240x240 px | Head | Axial slice
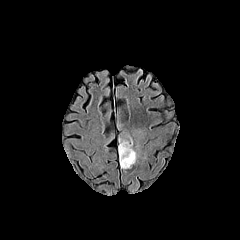
FLAIR MR.
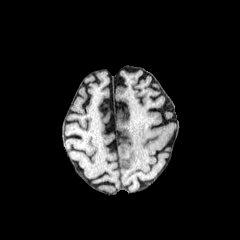
T1-weighted magnetic resonance.
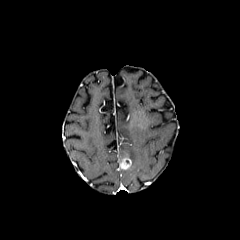
Same slice, post-contrast T1-weighted magnetic resonance.
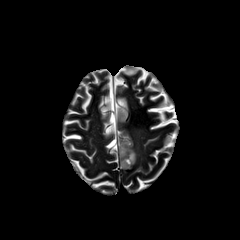
T2-weighted MR.
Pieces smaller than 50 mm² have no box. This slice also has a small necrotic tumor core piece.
enhancing tumor — [119,156,131,169]
peritumoral edema — [118,140,136,164]